FLAIR MR image.
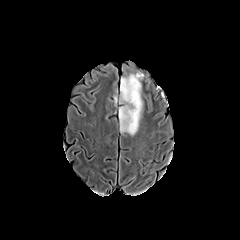
T1-weighted MR.
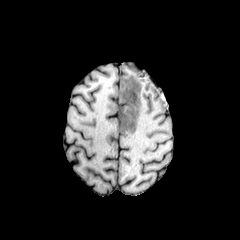
Post-contrast T1-weighted MRI.
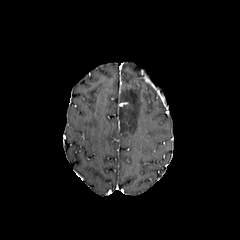
T2-weighted MR.
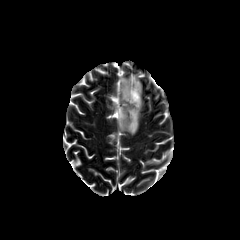
Axial slice, Head
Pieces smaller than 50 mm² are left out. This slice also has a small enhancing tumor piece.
peritumoral edema — [118, 72, 144, 136]